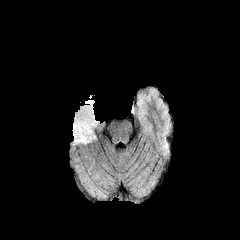
FLAIR magnetic resonance.
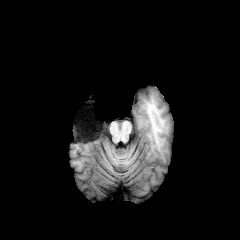
T1-weighted MR image.
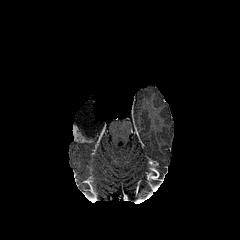
Same slice, post-contrast T1-weighted magnetic resonance.
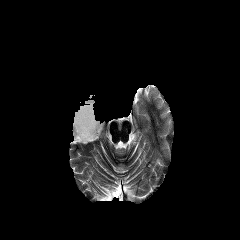
Same slice, T2-weighted MR image.
Axial slice | 240x240 px | Head
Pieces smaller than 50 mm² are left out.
Segmented structures:
* peritumoral edema: x1=73 y1=100 x2=99 y2=140
* enhancing tumor: x1=72 y1=125 x2=91 y2=142